Axial view
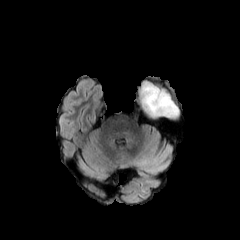
FLAIR MR image.
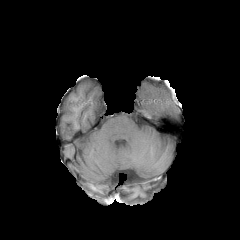
Same slice, T1-weighted magnetic resonance.
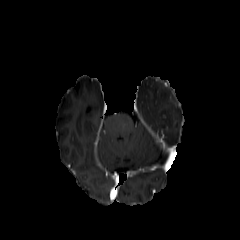
Post-contrast T1-weighted magnetic resonance.
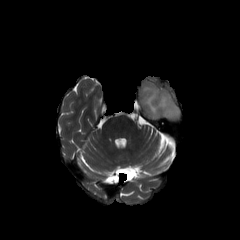
T2-weighted MR of the same slice.
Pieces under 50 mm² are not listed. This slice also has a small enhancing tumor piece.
{
  "peritumoral_edema": [
    {"x1": 140, "y1": 82, "x2": 178, "y2": 122}
  ]
}